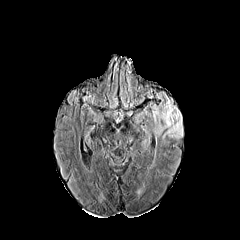
FLAIR MR image.
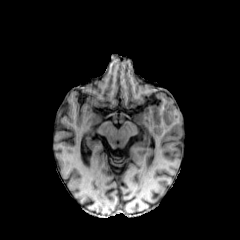
T1-weighted MRI.
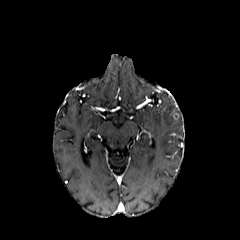
Post-contrast T1-weighted MRI of the same slice.
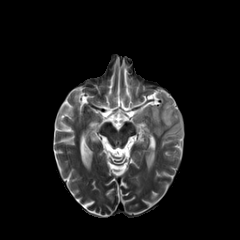
T2-weighted MRI.
Axial view. 240x240.
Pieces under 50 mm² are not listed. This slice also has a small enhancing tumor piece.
peritumoral edema: bounding box <bbox>153, 99, 182, 137</bbox>